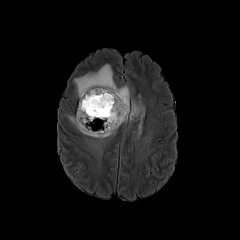
FLAIR MR.
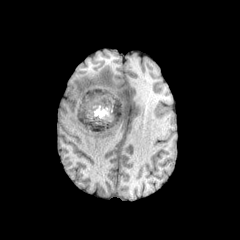
T1-weighted magnetic resonance.
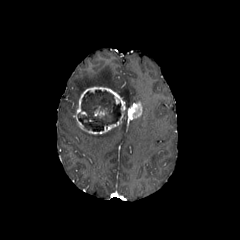
Post-contrast T1-weighted magnetic resonance of the same slice.
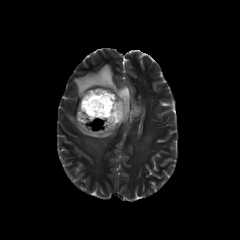
Same slice, T2-weighted MR.
240x240. Axial plane. Head.
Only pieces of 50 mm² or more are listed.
enhancing tumor: bounding box (x1=94, y1=106, x2=106, y2=117), (x1=130, y1=101, x2=142, y2=119), (x1=74, y1=86, x2=127, y2=134)
necrotic tumor core: bounding box (x1=78, y1=90, x2=120, y2=131)
peritumoral edema: bounding box (x1=136, y1=106, x2=144, y2=128), (x1=68, y1=115, x2=119, y2=138), (x1=74, y1=64, x2=130, y2=105)